FLAIR magnetic resonance.
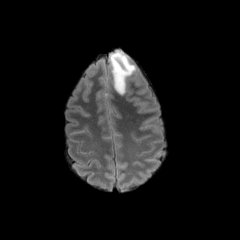
T1-weighted MRI.
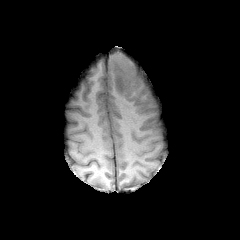
Post-contrast T1-weighted MRI.
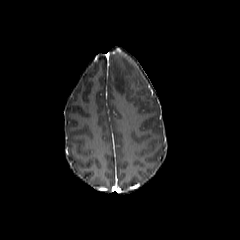
T2-weighted MR image.
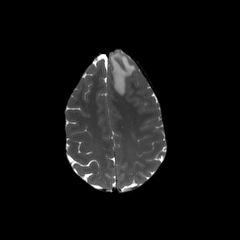
Brain
peritumoral edema: bbox(110, 51, 135, 94)